Axial slice, Slice index 123
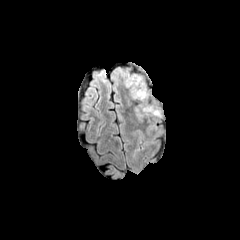
FLAIR MR.
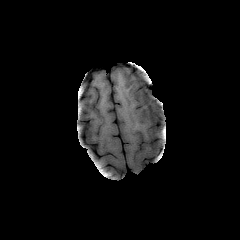
Same slice, T1-weighted magnetic resonance.
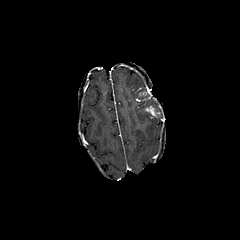
Same slice, post-contrast T1-weighted magnetic resonance.
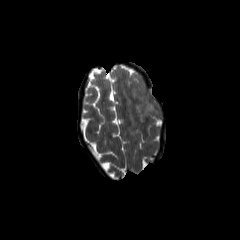
Same slice, T2-weighted MRI.
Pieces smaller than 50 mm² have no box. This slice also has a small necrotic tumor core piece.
peritumoral edema — box(135, 104, 149, 119); box(120, 71, 145, 98)
enhancing tumor — box(135, 87, 151, 102); box(144, 103, 159, 119)